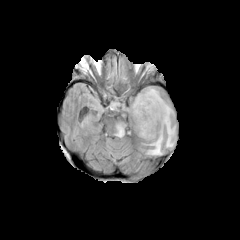
FLAIR MR image.
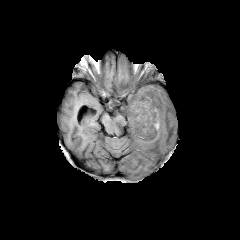
T1-weighted MR.
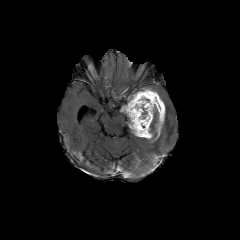
Post-contrast T1-weighted MR.
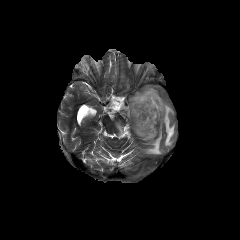
T2-weighted MR of the same slice.
Axial slice, Brain, 240x240 px
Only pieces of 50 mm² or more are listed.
<segmentation>
  <necrotic_tumor_core>136 106 147 119</necrotic_tumor_core>
  <peritumoral_edema>116 122 125 136, 146 99 175 154</peritumoral_edema>
  <enhancing_tumor>121 89 165 139</enhancing_tumor>
</segmentation>